FLAIR MR image.
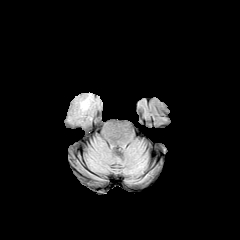
T1-weighted magnetic resonance.
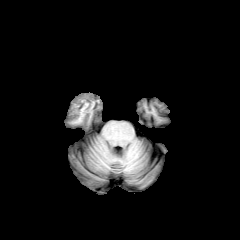
Post-contrast T1-weighted MR.
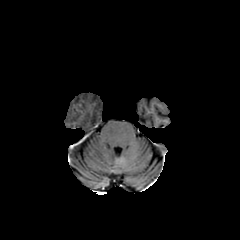
T2-weighted MRI.
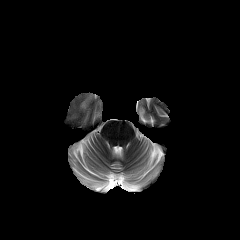
Brain, Axial plane
<segmentation>
  <peritumoral_edema>region(81, 95, 91, 110)</peritumoral_edema>
</segmentation>